Axial plane, Slice 41/155
FLAIR magnetic resonance.
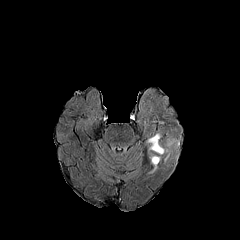
T1-weighted magnetic resonance.
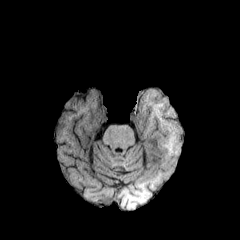
Post-contrast T1-weighted MR image.
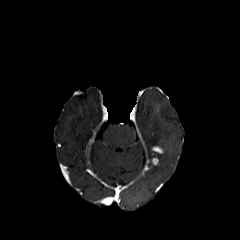
T2-weighted magnetic resonance.
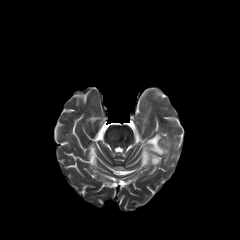
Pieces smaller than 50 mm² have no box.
Annotated regions:
* peritumoral edema: <box>147,133,161,147</box>, <box>163,139,173,161</box>
* enhancing tumor: <box>151,146,163,153</box>